Head. Slice 90/155.
FLAIR MR.
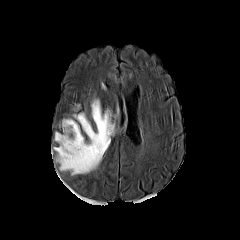
T1-weighted MRI.
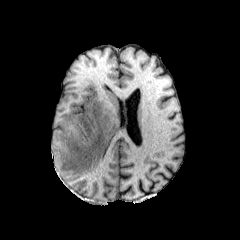
Post-contrast T1-weighted MRI.
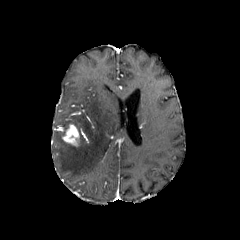
T2-weighted MR image.
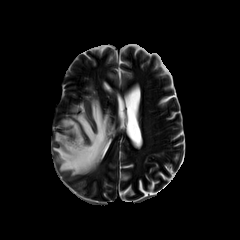
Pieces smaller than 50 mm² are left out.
- peritumoral edema: 53 99 114 175
- enhancing tumor: 63 125 79 146